240x240 px, Image width 240 mm, 1.00 mm slice spacing
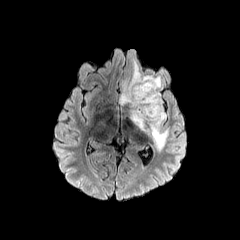
FLAIR magnetic resonance.
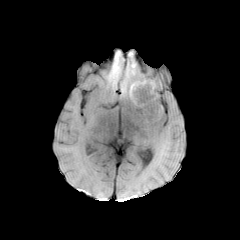
T1-weighted MR image.
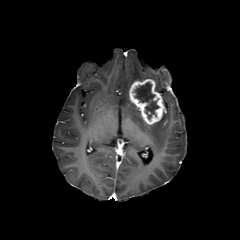
Post-contrast T1-weighted magnetic resonance.
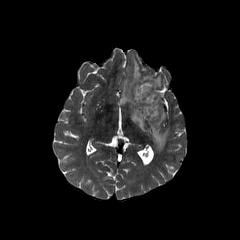
Same slice, T2-weighted MR.
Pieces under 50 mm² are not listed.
- enhancing tumor: x1=129 y1=79 x2=164 y2=124
- peritumoral edema: x1=119 y1=57 x2=168 y2=150
- necrotic tumor core: x1=134 y1=81 x2=159 y2=119